Slice 107/155
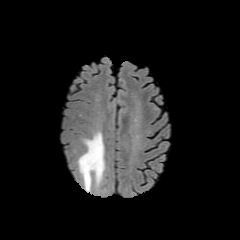
FLAIR MR image.
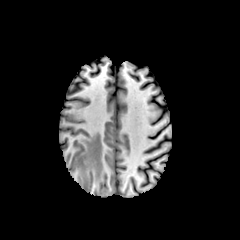
T1-weighted MR image.
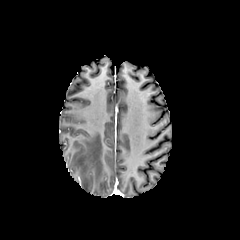
Same slice, post-contrast T1-weighted magnetic resonance.
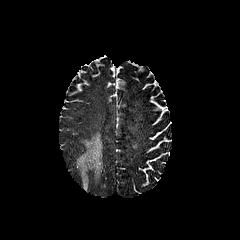
T2-weighted MR image.
peritumoral edema: left=77, top=131, right=104, bottom=191